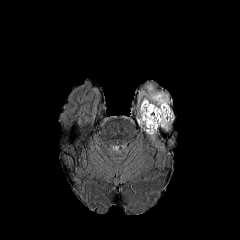
FLAIR magnetic resonance.
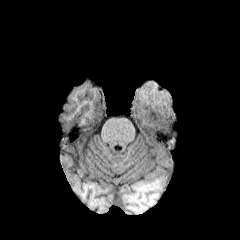
Same slice, T1-weighted MR image.
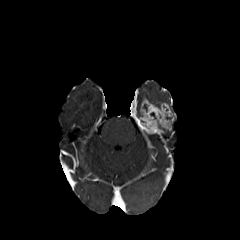
Post-contrast T1-weighted MR.
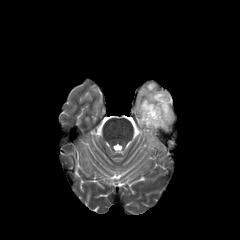
T2-weighted MR.
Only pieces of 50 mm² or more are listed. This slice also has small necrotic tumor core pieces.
peritumoral edema — left=139, top=84, right=169, bottom=106
enhancing tumor — left=137, top=98, right=174, bottom=134